Head, 240x240 px, Image width 240 mm, 1.00 mm slice spacing
FLAIR magnetic resonance.
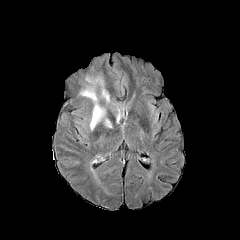
T1-weighted MR.
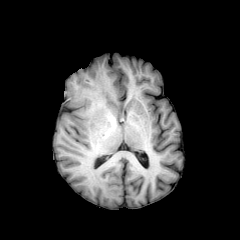
Post-contrast T1-weighted magnetic resonance.
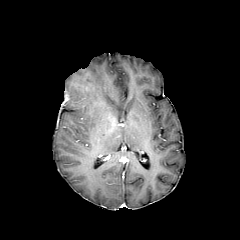
T2-weighted MR.
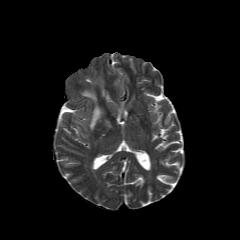
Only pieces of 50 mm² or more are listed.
<segmentation>
  <peritumoral_edema>90, 105, 102, 129; 82, 91, 96, 100</peritumoral_edema>
</segmentation>